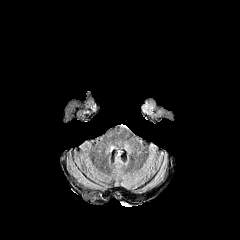
FLAIR magnetic resonance.
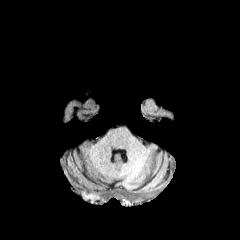
Same slice, T1-weighted MR image.
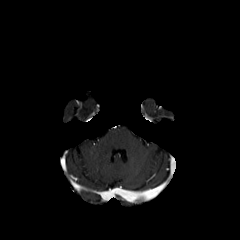
Post-contrast T1-weighted MRI.
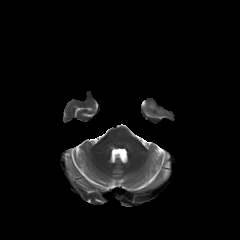
T2-weighted MRI.
<segmentation>
  <peritumoral_edema>[142, 101, 154, 114]</peritumoral_edema>
</segmentation>